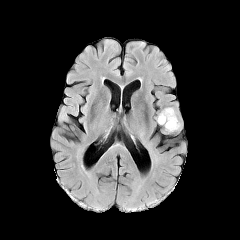
FLAIR MR.
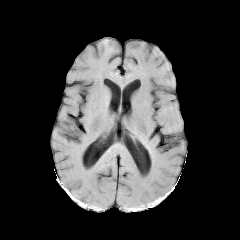
T1-weighted MR of the same slice.
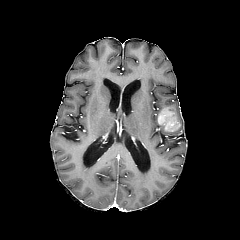
Same slice, post-contrast T1-weighted MR image.
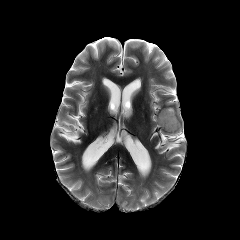
T2-weighted MR image.
Axial slice
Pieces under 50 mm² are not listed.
The enhancing tumor lies within 158,107,180,131. The largest peritumoral edema region is bounded by 170,107,182,131.